Head, Image covers 240 mm x 240 mm, 240x240 px
FLAIR MR.
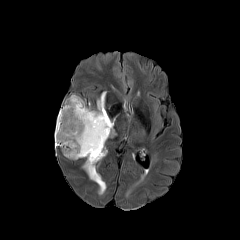
T1-weighted MR.
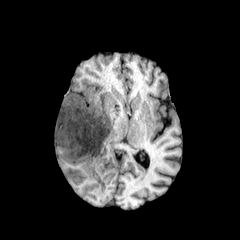
Post-contrast T1-weighted MR.
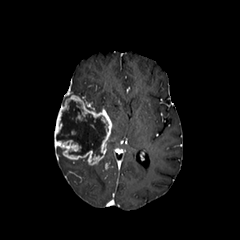
T2-weighted MR image.
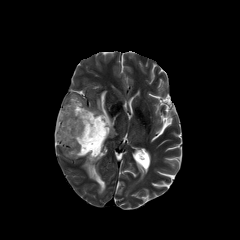
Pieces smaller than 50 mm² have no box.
peritumoral edema: (left=82, top=155, right=106, bottom=195), (left=96, top=91, right=106, bottom=112)
necrotic tumor core: (left=56, top=100, right=105, bottom=156)
enhancing tumor: (left=54, top=95, right=112, bottom=165)